FLAIR MR image.
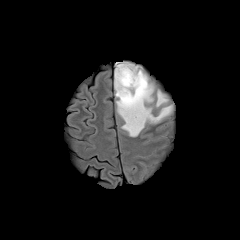
T1-weighted magnetic resonance.
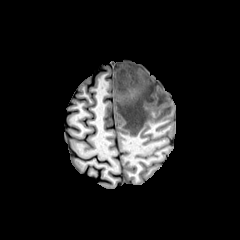
Post-contrast T1-weighted MRI.
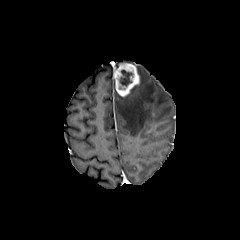
T2-weighted MRI.
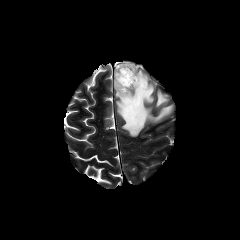
240x240 px. Axial plane.
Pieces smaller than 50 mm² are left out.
enhancing_tumor:
  - (114,63,139,96)
peritumoral_edema:
  - (115,66,173,136)
necrotic_tumor_core:
  - (119,70,133,89)